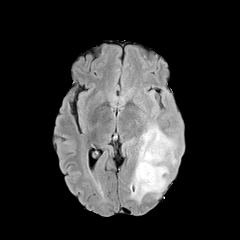
FLAIR MR image.
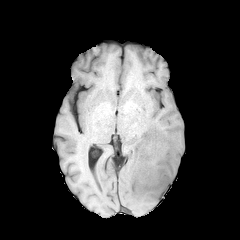
T1-weighted MR.
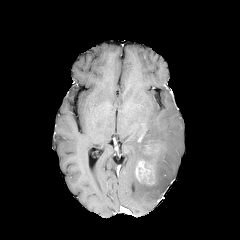
Post-contrast T1-weighted MRI.
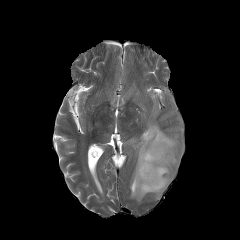
T2-weighted magnetic resonance.
Axial view | 240x240 | Brain
The enhancing tumor appears at x1=135 y1=160 x2=155 y2=185. The peritumoral edema is bounded by x1=130 y1=122 x2=177 y2=202.